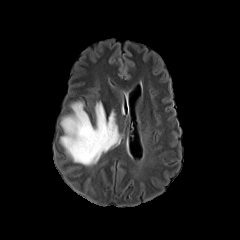
FLAIR MR image.
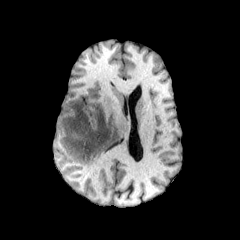
Same slice, T1-weighted magnetic resonance.
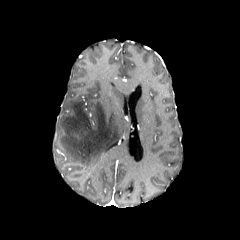
Same slice, post-contrast T1-weighted MR image.
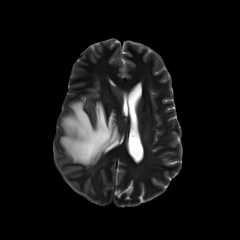
Same slice, T2-weighted magnetic resonance.
Brain
• peritumoral edema: l=60, t=101, r=120, b=165